Brain; Image size 240x240; Slice 58 of 155
FLAIR MR image.
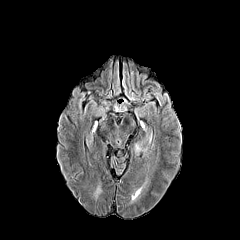
T1-weighted MR image.
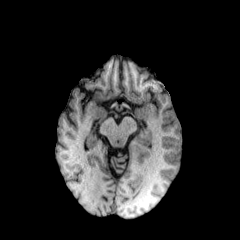
Post-contrast T1-weighted MRI.
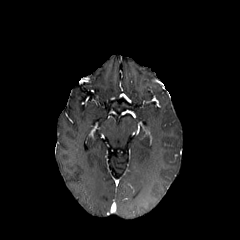
T2-weighted MR.
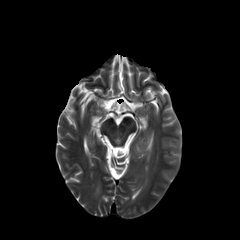
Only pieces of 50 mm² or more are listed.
peritumoral edema at box(131, 187, 142, 200)